FLAIR magnetic resonance.
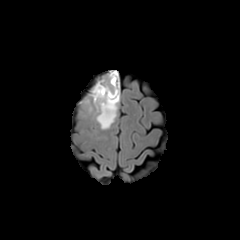
T1-weighted MRI.
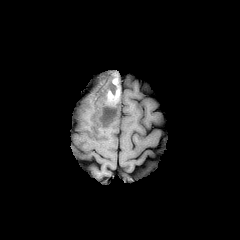
Post-contrast T1-weighted magnetic resonance.
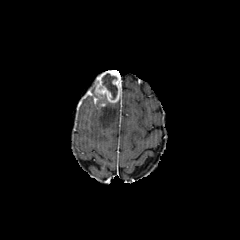
T2-weighted MR.
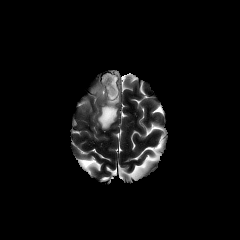
Head. Image size 240x240.
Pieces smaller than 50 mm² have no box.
Annotated regions:
- necrotic tumor core: (102, 74, 117, 99)
- peritumoral edema: (95, 100, 119, 129)
- enhancing tumor: (92, 71, 119, 106)